FLAIR MR image.
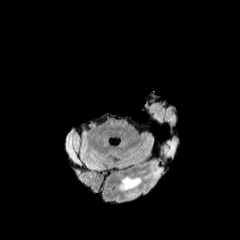
T1-weighted MR image.
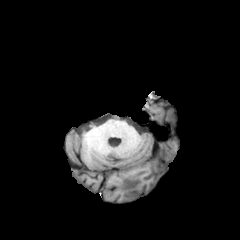
Post-contrast T1-weighted MRI.
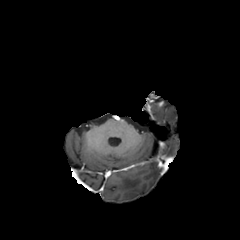
T2-weighted MR image.
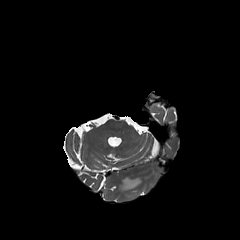
Head
Findings:
• peritumoral edema: l=119, t=176, r=141, b=190